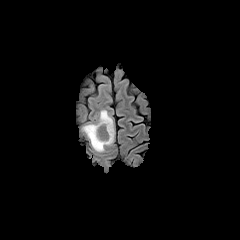
FLAIR MR.
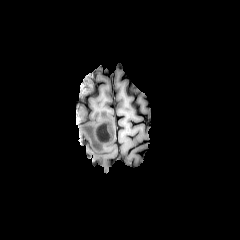
T1-weighted MR image.
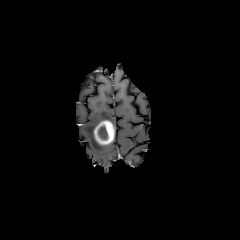
Post-contrast T1-weighted MR image.
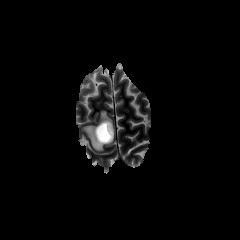
Same slice, T2-weighted MR image.
Brain. 240x240.
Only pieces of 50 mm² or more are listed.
enhancing tumor: [93, 120, 114, 145] | peritumoral edema: [81, 110, 114, 152] | necrotic tumor core: [98, 126, 107, 139]